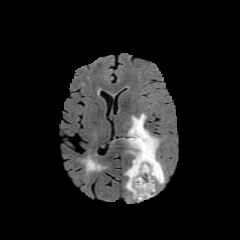
FLAIR magnetic resonance.
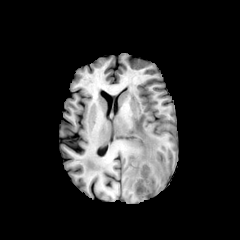
Same slice, T1-weighted MR.
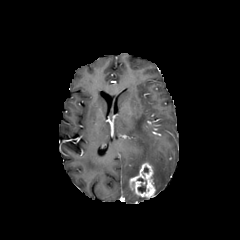
Post-contrast T1-weighted MRI.
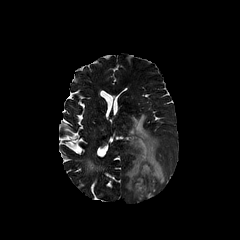
Same slice, T2-weighted magnetic resonance.
Brain
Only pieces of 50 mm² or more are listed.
necrotic tumor core: bounding box bbox(138, 185, 145, 192)
peritumoral edema: bounding box bbox(125, 180, 144, 200); bbox(125, 114, 165, 183)
enhancing tumor: bounding box bbox(129, 162, 155, 198)